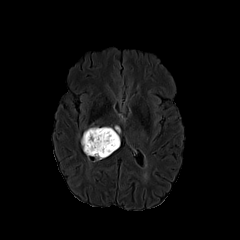
FLAIR magnetic resonance.
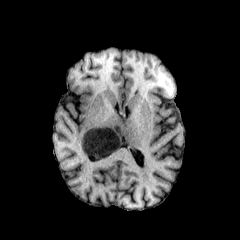
Same slice, T1-weighted MRI.
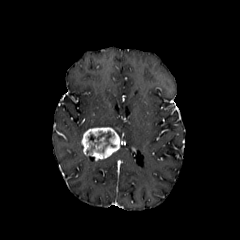
Post-contrast T1-weighted magnetic resonance.
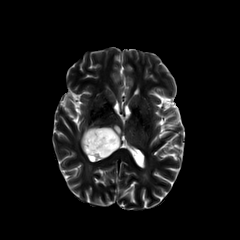
T2-weighted MR image.
Brain | 240x240
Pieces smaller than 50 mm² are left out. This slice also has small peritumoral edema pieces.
{"necrotic_tumor_core": ["(94,131,111,147)"], "enhancing_tumor": ["(81,127,120,160)"]}